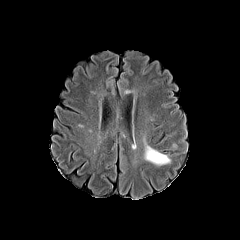
FLAIR MRI.
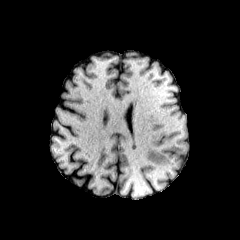
T1-weighted MRI of the same slice.
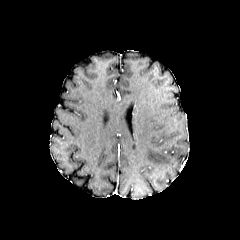
Post-contrast T1-weighted MR image.
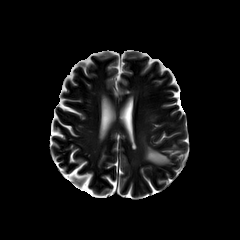
T2-weighted MR of the same slice.
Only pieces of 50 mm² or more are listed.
peritumoral edema — 143,137,171,166